Head, 240x240, Image width 240 mm, 1.00 mm slice spacing
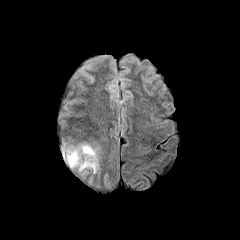
FLAIR magnetic resonance.
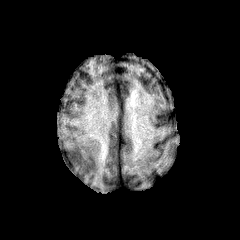
Same slice, T1-weighted MR image.
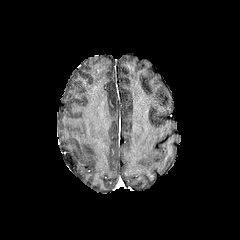
Post-contrast T1-weighted MR.
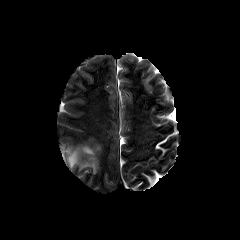
T2-weighted MR.
peritumoral edema — x1=67, y1=145, x2=97, y2=172